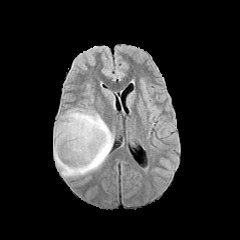
FLAIR MR image.
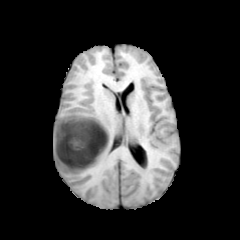
T1-weighted MR.
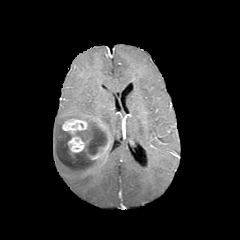
Post-contrast T1-weighted MR of the same slice.
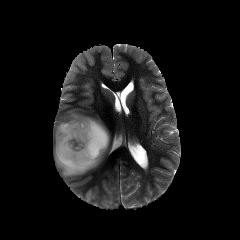
T2-weighted MR image.
Brain. 240x240.
The necrotic tumor core lies within [x1=72, y1=120, x2=107, y2=156]. The peritumoral edema is bounded by [x1=53, y1=108, x2=113, y2=177]. The enhancing tumor is located at [x1=62, y1=118, x2=109, y2=159].